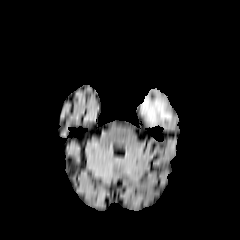
FLAIR MR image.
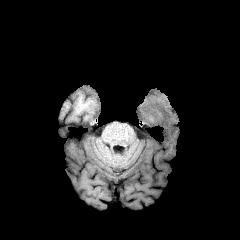
Same slice, T1-weighted MR.
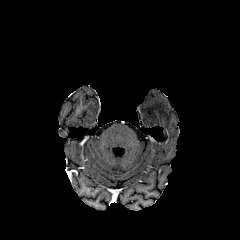
Post-contrast T1-weighted MR of the same slice.
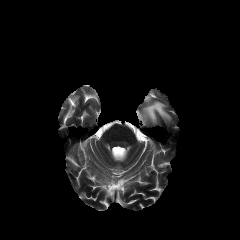
T2-weighted magnetic resonance of the same slice.
Head
Findings:
• peritumoral edema: x1=141, y1=96, x2=171, y2=123